FLAIR MR.
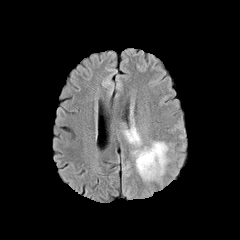
T1-weighted MR.
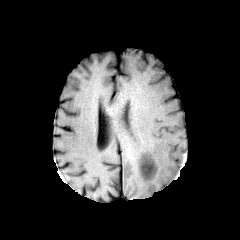
Post-contrast T1-weighted MR.
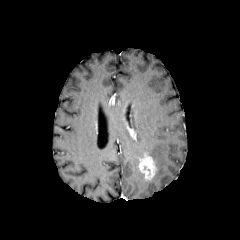
T2-weighted MR image.
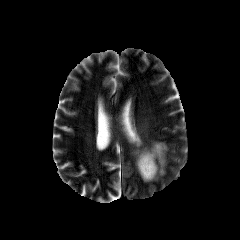
Axial plane, Brain, 240x240 px
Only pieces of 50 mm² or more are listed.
The largest enhancing tumor region appears at (left=138, top=153, right=156, bottom=180). 2 peritumoral edema regions are bounded by (left=125, top=127, right=140, bottom=145), (left=134, top=142, right=167, bottom=181).